FLAIR MR.
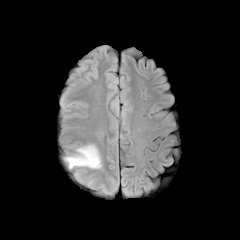
T1-weighted MR image.
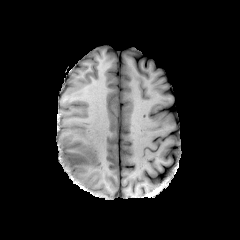
Post-contrast T1-weighted MRI.
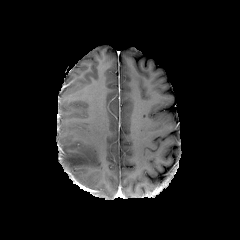
T2-weighted MRI.
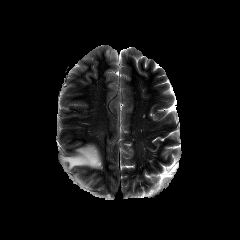
Head
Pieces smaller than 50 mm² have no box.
The largest peritumoral edema region is at <bbox>64, 144, 101, 168</bbox>.